FLAIR MR image.
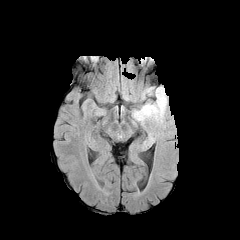
T1-weighted MR image.
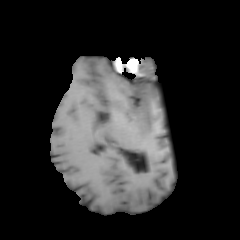
Post-contrast T1-weighted MRI.
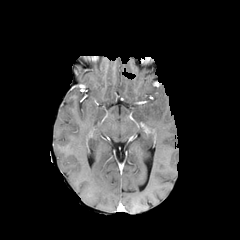
T2-weighted magnetic resonance.
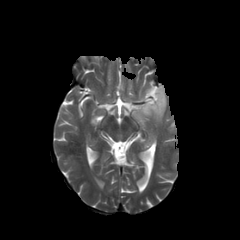
Brain.
peritumoral edema: [x1=132, y1=86, x2=166, y2=125]